FLAIR MR image.
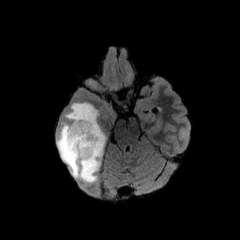
T1-weighted MR image.
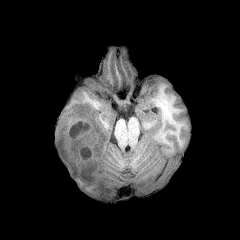
Post-contrast T1-weighted MRI.
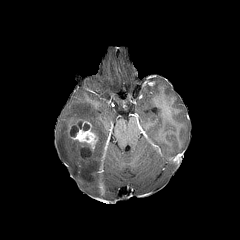
T2-weighted MR.
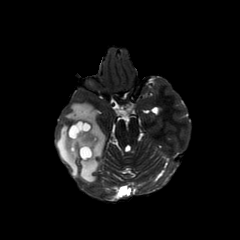
Axial view.
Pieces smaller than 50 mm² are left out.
peritumoral edema: x1=57 y1=102 x2=105 y2=182
enhancing tumor: x1=68 y1=120 x2=98 y2=158
necrotic tumor core: x1=70 y1=121 x2=89 y2=136, x1=80 y1=148 x2=91 y2=158